Head | 240x240 | Slice index 35
FLAIR MR.
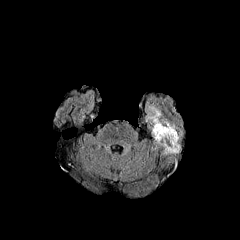
T1-weighted magnetic resonance.
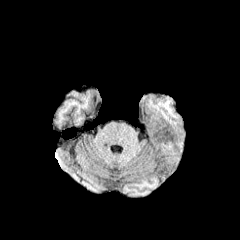
Post-contrast T1-weighted magnetic resonance.
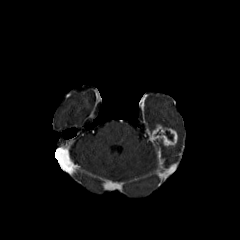
T2-weighted MR.
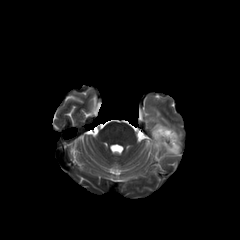
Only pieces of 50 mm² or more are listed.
enhancing tumor: <bbox>151, 124, 177, 146</bbox> | necrotic tumor core: <bbox>164, 130, 173, 141</bbox> | peritumoral edema: <bbox>160, 130, 183, 156</bbox>, <bbox>148, 106, 177, 130</bbox>